FLAIR MRI.
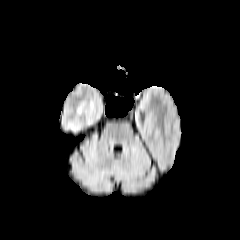
T1-weighted magnetic resonance.
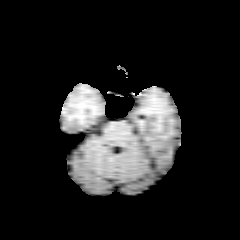
Post-contrast T1-weighted MR image.
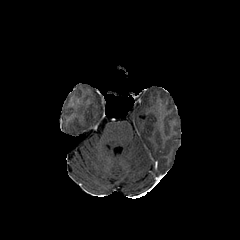
T2-weighted MR image.
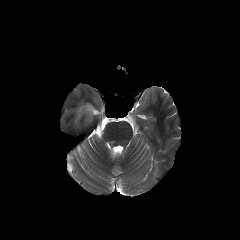
Brain. Axial plane.
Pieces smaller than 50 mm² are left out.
peritumoral edema: 77,104,85,114